Slice 67/155; 240x240
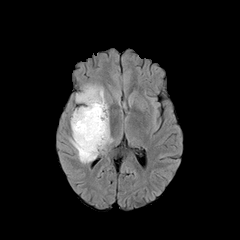
FLAIR MR image.
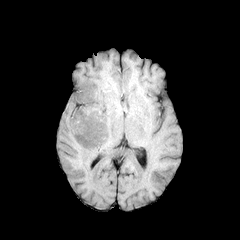
T1-weighted magnetic resonance of the same slice.
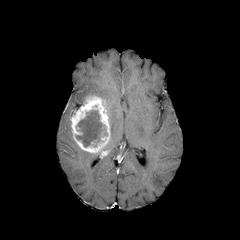
Post-contrast T1-weighted MRI of the same slice.
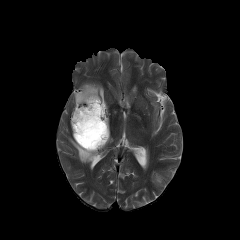
T2-weighted MR.
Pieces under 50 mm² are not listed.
enhancing tumor: 69, 95, 110, 153 | peritumoral edema: 75, 84, 105, 103; 69, 133, 100, 163 | necrotic tumor core: 76, 110, 106, 147